FLAIR MR.
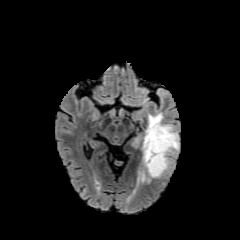
T1-weighted MR.
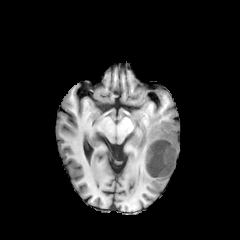
Post-contrast T1-weighted MR image.
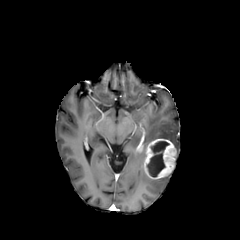
T2-weighted MR image.
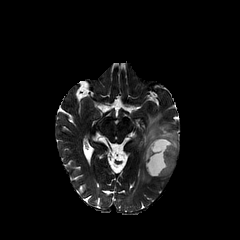
peritumoral edema: [x1=142, y1=113, x2=179, y2=164], [x1=138, y1=170, x2=150, y2=182]
necrotic tumor core: [x1=147, y1=141, x2=169, y2=177]
enhancing tumor: [x1=144, y1=139, x2=176, y2=178]